Slice index 116.
FLAIR MR.
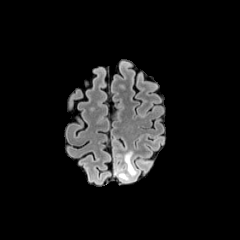
T1-weighted magnetic resonance.
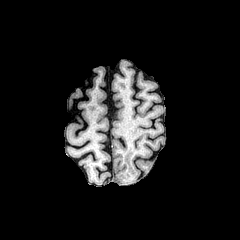
Post-contrast T1-weighted MR image.
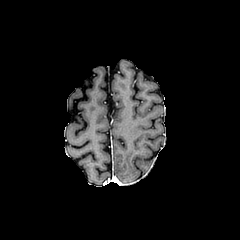
T2-weighted magnetic resonance.
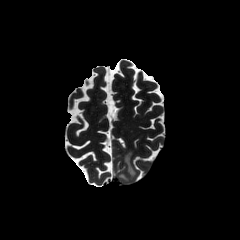
The peritumoral edema lies within bbox=[118, 152, 136, 181].